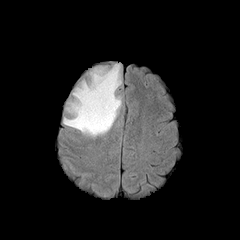
FLAIR MRI.
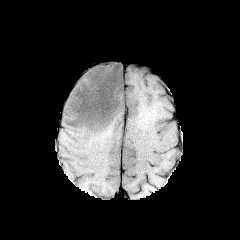
T1-weighted magnetic resonance of the same slice.
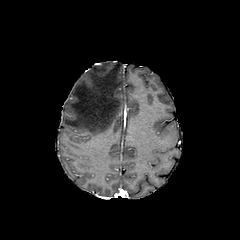
Post-contrast T1-weighted MRI.
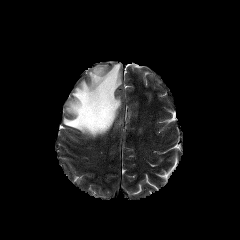
T2-weighted magnetic resonance of the same slice.
peritumoral edema = bbox(63, 63, 121, 137)